240x240 px, Image width 240 mm, 1.00 mm slice spacing
FLAIR MR.
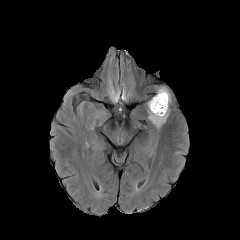
T1-weighted MRI.
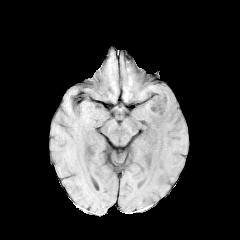
Post-contrast T1-weighted magnetic resonance.
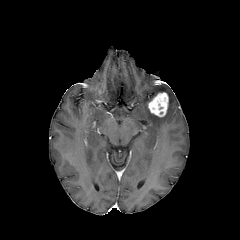
T2-weighted MRI.
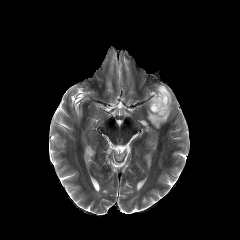
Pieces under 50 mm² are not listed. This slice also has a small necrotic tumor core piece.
peritumoral edema: rect(147, 86, 171, 128)
enhancing tumor: rect(148, 92, 168, 116)